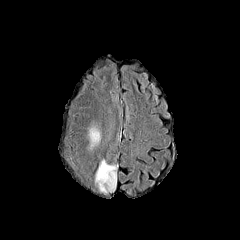
FLAIR MR image.
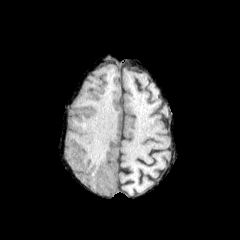
T1-weighted MR.
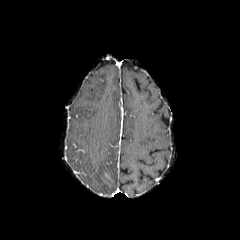
Post-contrast T1-weighted MR image.
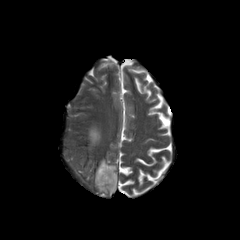
T2-weighted magnetic resonance.
Brain.
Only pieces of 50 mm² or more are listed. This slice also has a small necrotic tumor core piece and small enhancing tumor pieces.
2 peritumoral edema regions appear at (x1=87, y1=125, x2=101, y2=149), (x1=95, y1=158, x2=118, y2=195).